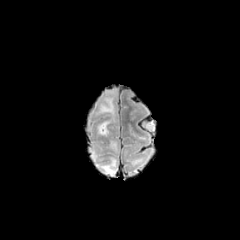
FLAIR magnetic resonance.
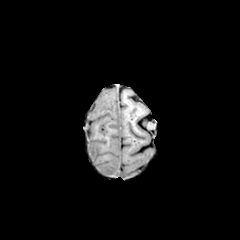
T1-weighted magnetic resonance.
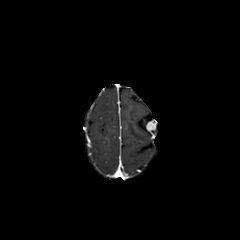
Post-contrast T1-weighted MRI.
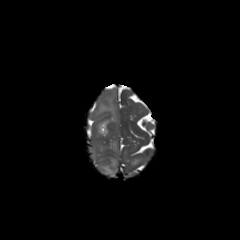
Same slice, T2-weighted magnetic resonance.
Axial view; 240x240
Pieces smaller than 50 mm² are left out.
Annotated regions:
* peritumoral edema: l=96, t=92, r=115, b=135; l=98, t=158, r=116, b=174